240x240 px, Slice 103/155, Brain
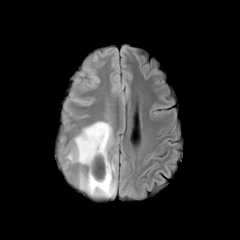
FLAIR magnetic resonance.
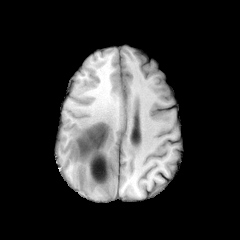
T1-weighted MR of the same slice.
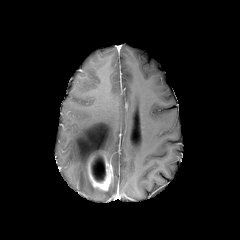
Post-contrast T1-weighted MR.
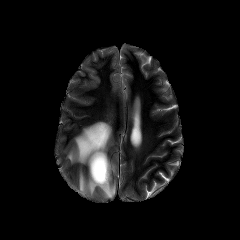
T2-weighted MRI.
• enhancing tumor: 88,152,113,190
• peritumoral edema: 67,121,112,167; 79,160,116,197
• necrotic tumor core: 92,154,105,181